Slice index 63. 240x240 px.
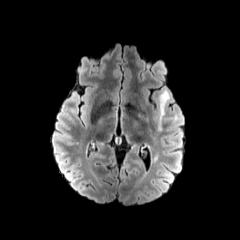
FLAIR MRI.
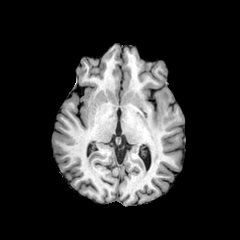
Same slice, T1-weighted MR image.
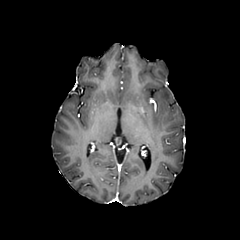
Same slice, post-contrast T1-weighted MRI.
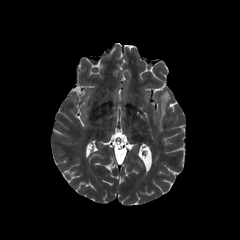
Same slice, T2-weighted MR image.
The peritumoral edema is at left=158, top=90, right=169, bottom=130.